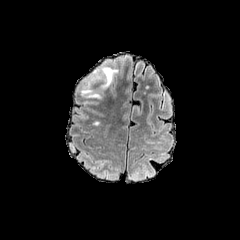
FLAIR magnetic resonance.
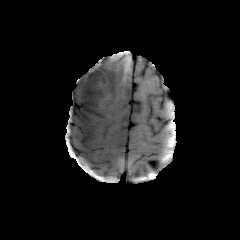
T1-weighted MR of the same slice.
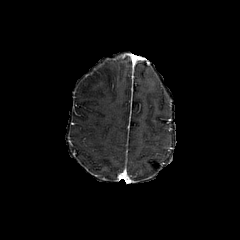
Post-contrast T1-weighted MRI of the same slice.
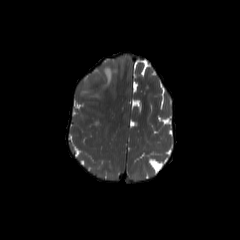
T2-weighted MRI.
{"peritumoral_edema": ["<bbox>81, 66, 118, 98</bbox>"]}